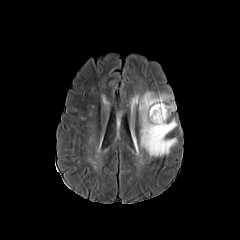
FLAIR MR image.
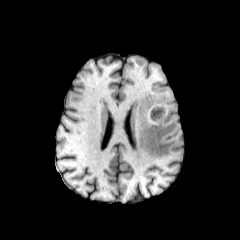
Same slice, T1-weighted MRI.
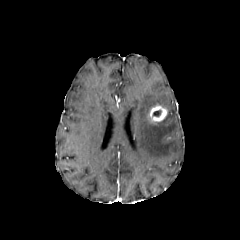
Same slice, post-contrast T1-weighted MRI.
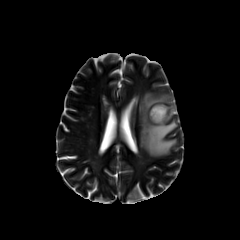
T2-weighted MRI of the same slice.
240x240; Axial slice
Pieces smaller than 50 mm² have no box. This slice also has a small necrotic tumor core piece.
enhancing tumor — x1=149, y1=105, x2=167, y2=123
peritumoral edema — x1=138, y1=91, x2=177, y2=156